Slice 130 of 155 | 240x240
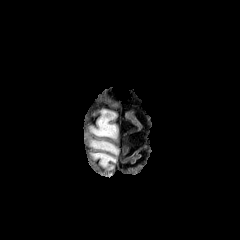
FLAIR magnetic resonance.
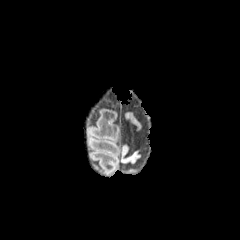
T1-weighted MR image of the same slice.
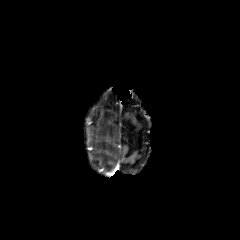
Same slice, post-contrast T1-weighted MRI.
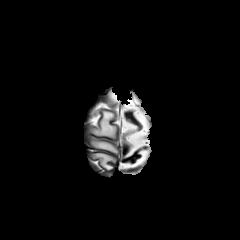
T2-weighted magnetic resonance.
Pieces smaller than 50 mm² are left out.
<segmentation>
  <peritumoral_edema>box(91, 153, 115, 167); box(90, 110, 117, 138); box(90, 140, 118, 154)</peritumoral_edema>
</segmentation>